Axial plane. Brain. Slice index 47.
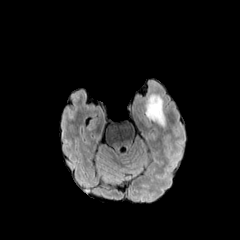
FLAIR magnetic resonance.
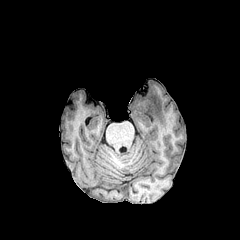
T1-weighted MRI of the same slice.
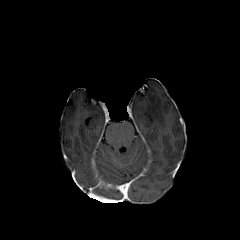
Post-contrast T1-weighted MRI.
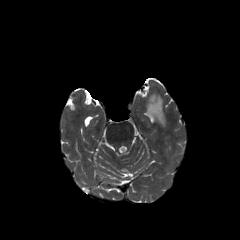
Same slice, T2-weighted MR.
The peritumoral edema is bounded by (146, 95, 165, 126).